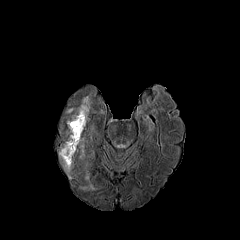
FLAIR MR image.
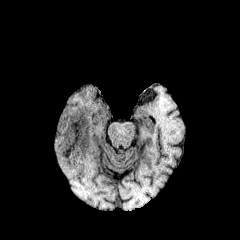
Same slice, T1-weighted MR.
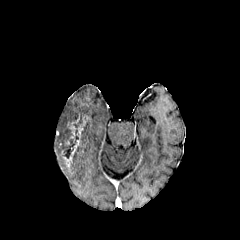
Post-contrast T1-weighted MRI of the same slice.
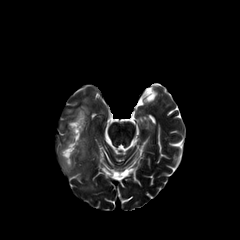
T2-weighted MR of the same slice.
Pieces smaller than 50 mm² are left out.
enhancing tumor: bounding box {"x1": 63, "y1": 116, "x2": 85, "y2": 167}
peritumoral edema: bounding box {"x1": 76, "y1": 134, "x2": 86, "y2": 158}, {"x1": 67, "y1": 97, "x2": 90, "y2": 128}, {"x1": 59, "y1": 129, "x2": 73, "y2": 173}
necrotic tumor core: bounding box {"x1": 64, "y1": 129, "x2": 78, "y2": 158}